Brain.
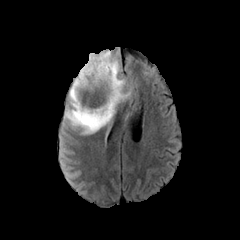
FLAIR magnetic resonance.
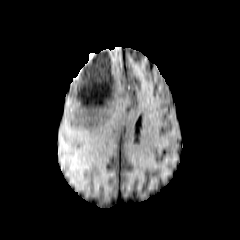
T1-weighted magnetic resonance.
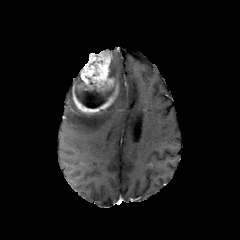
Post-contrast T1-weighted MRI.
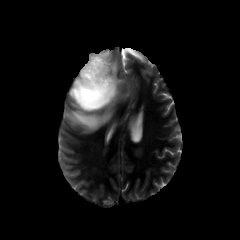
T2-weighted MR image.
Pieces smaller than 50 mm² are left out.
The largest peritumoral edema region is located at (65,52,130,131). The necrotic tumor core is at (76,91,112,108). The enhancing tumor is bounded by (72,49,118,115).